Axial plane, Slice 94 of 155
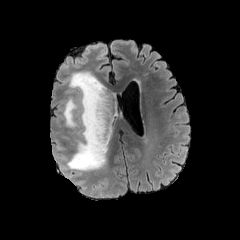
FLAIR magnetic resonance.
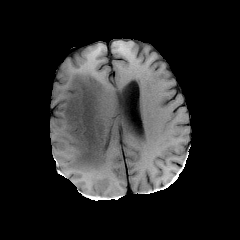
T1-weighted MR image.
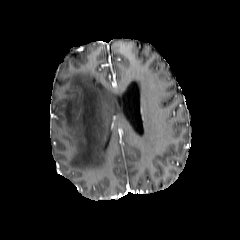
Post-contrast T1-weighted MRI.
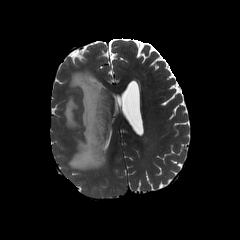
T2-weighted MR of the same slice.
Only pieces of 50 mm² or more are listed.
The largest peritumoral edema region lies within (x1=63, y1=71, x2=116, y2=170).